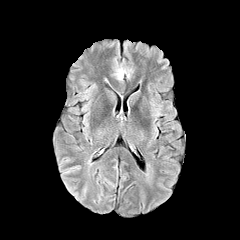
FLAIR MR.
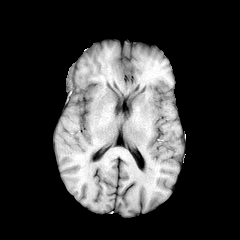
Same slice, T1-weighted MRI.
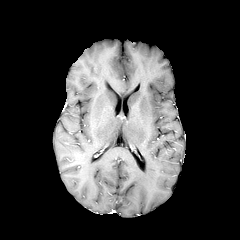
Post-contrast T1-weighted MRI.
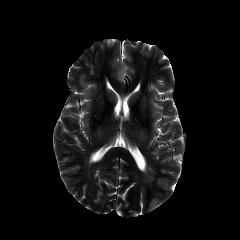
Same slice, T2-weighted MR.
240x240 px; Axial view
peritumoral edema: bounding box x1=116, y1=68, x2=125, y2=80